FLAIR magnetic resonance.
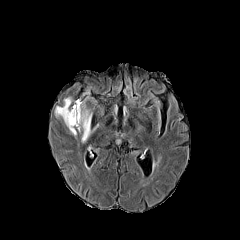
T1-weighted magnetic resonance.
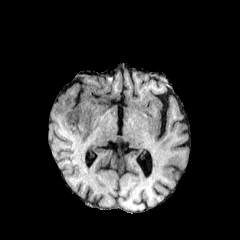
Post-contrast T1-weighted MR.
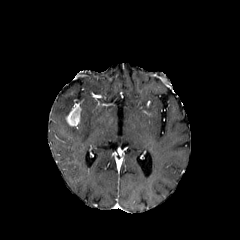
T2-weighted MR image.
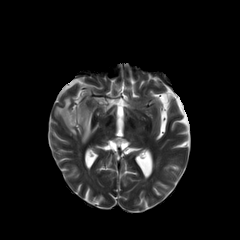
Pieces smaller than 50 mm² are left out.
{
  "enhancing_tumor": [
    "bbox(66, 102, 81, 128)"
  ],
  "peritumoral_edema": [
    "bbox(77, 96, 96, 142)",
    "bbox(55, 97, 76, 136)"
  ]
}